Image width 240 mm, 1.00 mm slice spacing; Image size 240x240
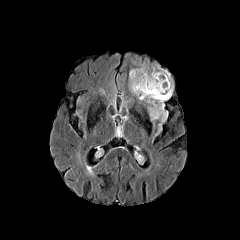
FLAIR magnetic resonance.
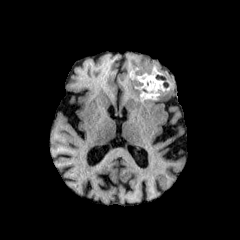
T1-weighted MRI.
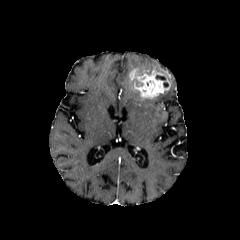
Same slice, post-contrast T1-weighted MR image.
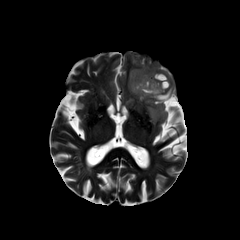
T2-weighted magnetic resonance.
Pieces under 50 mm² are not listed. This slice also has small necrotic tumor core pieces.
peritumoral_edema:
  - region(135, 64, 151, 74)
  - region(129, 78, 173, 126)
enhancing_tumor:
  - region(129, 69, 170, 98)